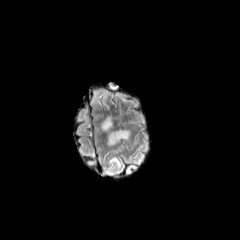
FLAIR MRI.
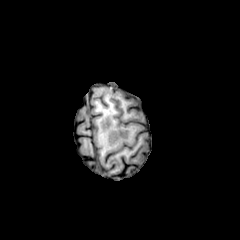
Same slice, T1-weighted magnetic resonance.
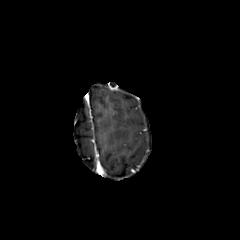
Post-contrast T1-weighted MR image.
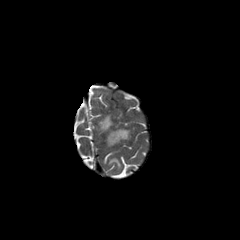
T2-weighted magnetic resonance.
Brain
peritumoral_edema:
  - (x1=110, y1=157, x2=120, y2=167)
  - (x1=101, y1=115, x2=130, y2=145)